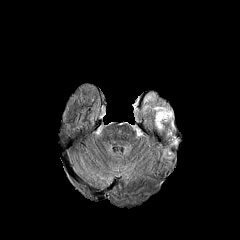
FLAIR MRI.
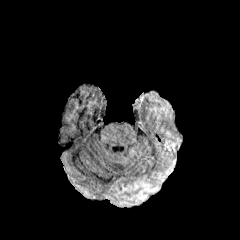
T1-weighted MRI.
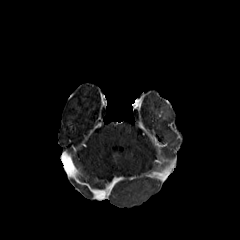
Post-contrast T1-weighted MRI of the same slice.
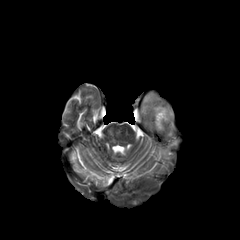
T2-weighted magnetic resonance of the same slice.
Head
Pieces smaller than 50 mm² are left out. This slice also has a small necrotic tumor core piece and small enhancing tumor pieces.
Annotated regions:
* peritumoral edema: (155, 112, 162, 129), (155, 107, 172, 117)